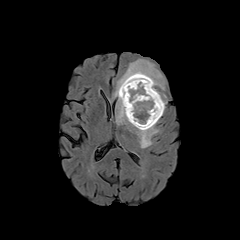
FLAIR MR.
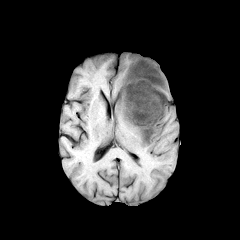
Same slice, T1-weighted MRI.
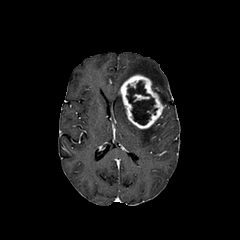
Same slice, post-contrast T1-weighted MR.
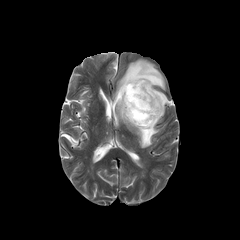
T2-weighted magnetic resonance.
Axial plane
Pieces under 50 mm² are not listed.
2 enhancing tumor regions are bounded by box=[119, 74, 164, 129]; box=[134, 94, 150, 101]. The largest peritumoral edema region is located at box=[109, 59, 166, 148]. The necrotic tumor core lies within box=[126, 81, 157, 124].